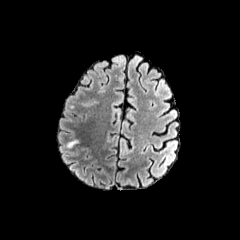
FLAIR MR image.
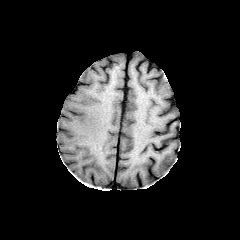
Same slice, T1-weighted magnetic resonance.
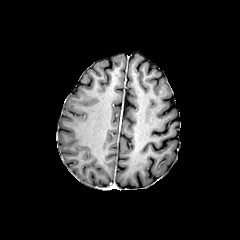
Post-contrast T1-weighted MR.
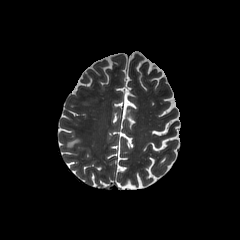
T2-weighted MRI of the same slice.
Image size 240x240; Axial plane
{"peritumoral_edema": ["x1=66, y1=140, x2=79, y2=147"]}